Image covers 240 mm x 240 mm | Axial slice | Head | 240x240
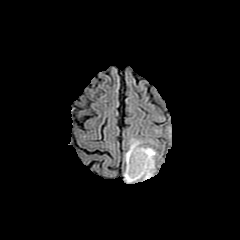
FLAIR MR image.
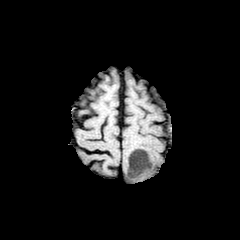
T1-weighted magnetic resonance.
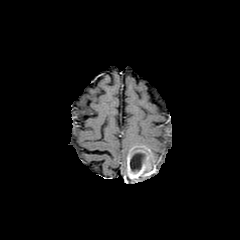
Post-contrast T1-weighted MRI.
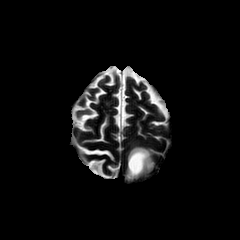
Same slice, T2-weighted MRI.
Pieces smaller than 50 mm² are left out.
Annotated regions:
* peritumoral edema: (125,138,141,163), (144,146,156,160), (124,171,152,182)
* enhancing tumor: (125,146,155,180)
* necrotic tumor core: (130,153,145,171)